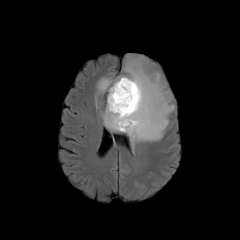
FLAIR MR image.
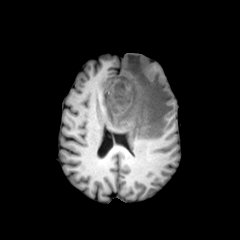
T1-weighted MRI of the same slice.
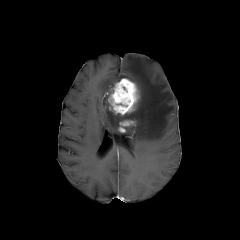
Post-contrast T1-weighted MR image.
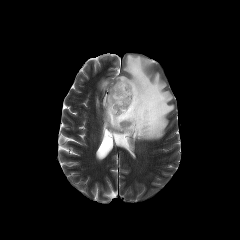
Same slice, T2-weighted MR image.
Head
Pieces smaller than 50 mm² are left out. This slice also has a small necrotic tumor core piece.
Findings:
- peritumoral edema: box=[97, 55, 174, 147]
- enhancing tumor: box=[118, 119, 135, 132]; box=[108, 78, 139, 115]